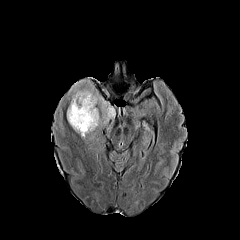
FLAIR MR image.
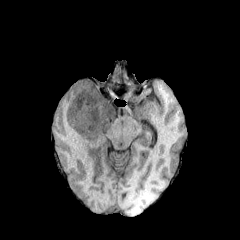
T1-weighted magnetic resonance.
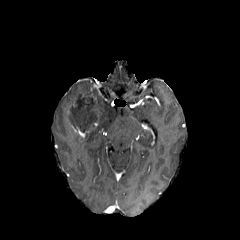
Post-contrast T1-weighted MR of the same slice.
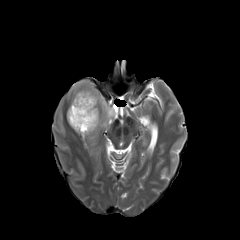
T2-weighted magnetic resonance of the same slice.
Axial plane; Brain
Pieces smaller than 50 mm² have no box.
Annotated regions:
- necrotic tumor core: 69 95 101 132
- enhancing tumor: 71 125 94 136
- peritumoral edema: 67 80 114 126